FLAIR magnetic resonance.
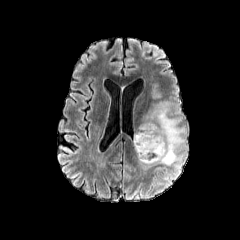
T1-weighted MR.
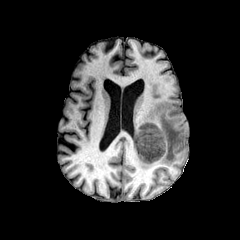
Post-contrast T1-weighted MRI.
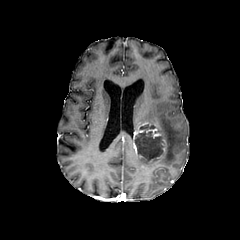
T2-weighted MR.
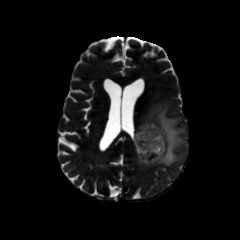
Axial slice | Brain
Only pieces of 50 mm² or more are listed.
Segmented structures:
* peritumoral edema: (left=137, top=101, right=187, bottom=169)
* necrotic tumor core: (left=134, top=131, right=163, bottom=160), (left=140, top=124, right=155, bottom=129)
* enhancing tumor: (left=133, top=122, right=166, bottom=162)